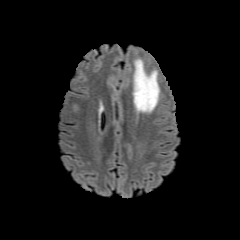
FLAIR MR.
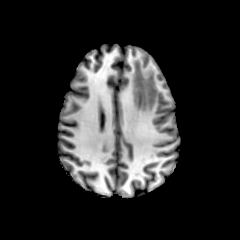
T1-weighted MR image.
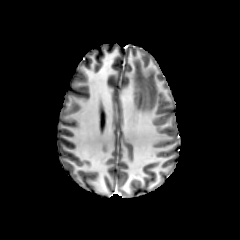
Post-contrast T1-weighted MRI.
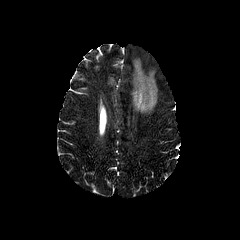
T2-weighted magnetic resonance of the same slice.
Axial plane.
<segmentation>
  <peritumoral_edema>133, 59, 159, 112</peritumoral_edema>
</segmentation>